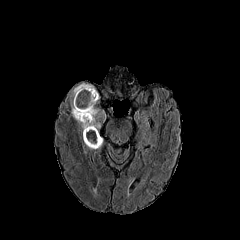
FLAIR magnetic resonance.
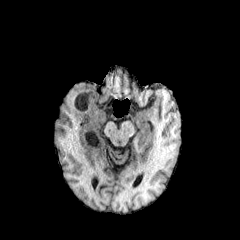
Same slice, T1-weighted magnetic resonance.
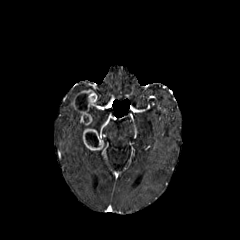
Post-contrast T1-weighted magnetic resonance.
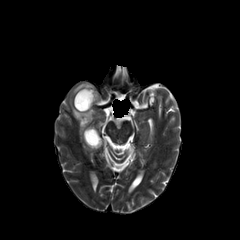
T2-weighted MR.
Brain
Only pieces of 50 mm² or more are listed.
<segmentation>
  <enhancing_tumor>region(71, 89, 97, 125); region(83, 128, 103, 150)</enhancing_tumor>
  <peritumoral_edema>region(68, 83, 98, 103); region(69, 105, 102, 131)</peritumoral_edema>
  <necrotic_tumor_core>region(85, 132, 98, 147); region(75, 94, 87, 110)</necrotic_tumor_core>
</segmentation>